Slice 95 of 155. Head.
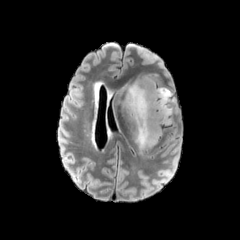
FLAIR MR image.
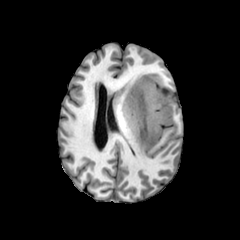
T1-weighted magnetic resonance of the same slice.
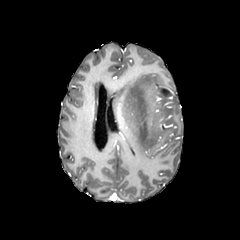
Same slice, post-contrast T1-weighted MR image.
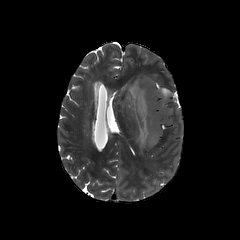
T2-weighted magnetic resonance.
{"peritumoral_edema": ["[119, 75, 174, 151]"]}